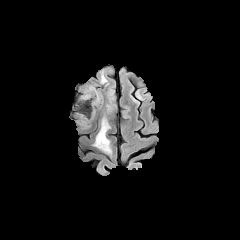
FLAIR MRI.
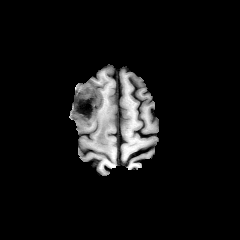
Same slice, T1-weighted magnetic resonance.
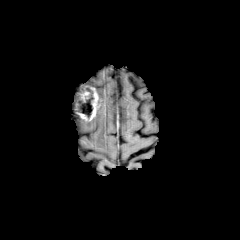
Same slice, post-contrast T1-weighted MR.
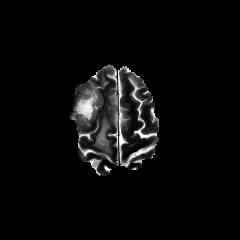
T2-weighted MR.
Axial slice; Brain
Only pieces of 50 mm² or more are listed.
<segmentation>
  <enhancing_tumor>(x1=74, y1=84, x2=99, y2=121)</enhancing_tumor>
  <peritumoral_edema>(x1=92, y1=118, x2=111, y2=153), (x1=100, y1=72, x2=105, y2=83), (x1=106, y1=88, x2=116, y2=111)</peritumoral_edema>
  <necrotic_tumor_core>(x1=79, y1=90, x2=92, y2=115)</necrotic_tumor_core>
</segmentation>